FLAIR MR.
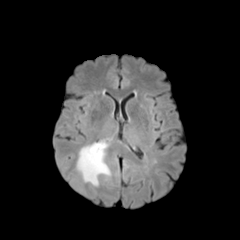
T1-weighted magnetic resonance.
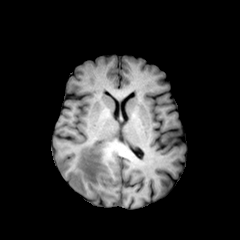
Post-contrast T1-weighted MR.
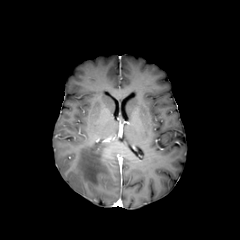
T2-weighted MRI.
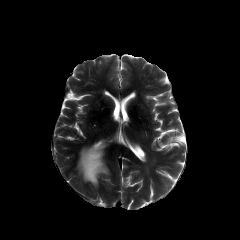
Axial plane
peritumoral_edema:
  - rect(76, 141, 110, 186)